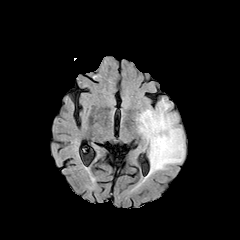
FLAIR MR image.
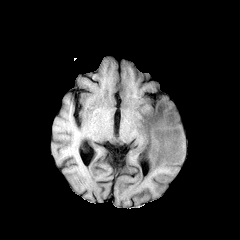
T1-weighted MR image.
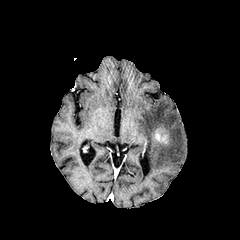
Post-contrast T1-weighted MRI of the same slice.
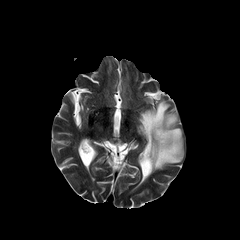
T2-weighted MRI.
Axial slice. Brain.
<segmentation>
  <peritumoral_edema>[136, 98, 184, 179]</peritumoral_edema>
  <enhancing_tumor>[153, 127, 169, 144]</enhancing_tumor>
</segmentation>